FLAIR MRI.
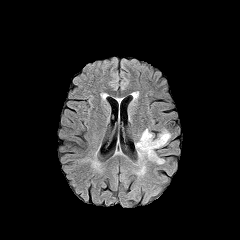
T1-weighted MR image.
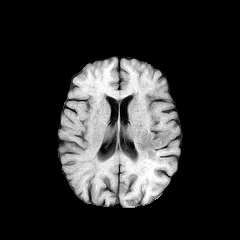
Post-contrast T1-weighted magnetic resonance.
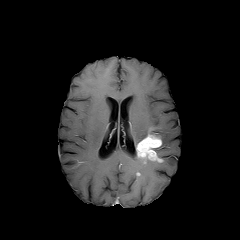
T2-weighted MR.
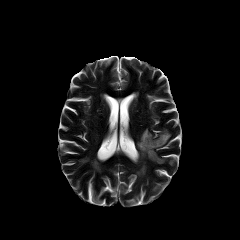
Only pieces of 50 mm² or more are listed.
{
  "peritumoral_edema": [
    "(138, 158, 148, 174)",
    "(155, 129, 170, 146)",
    "(135, 128, 154, 146)"
  ],
  "enhancing_tumor": [
    "(136, 134, 162, 162)"
  ]
}